Head; 240x240; Slice index 52; Axial view
FLAIR magnetic resonance.
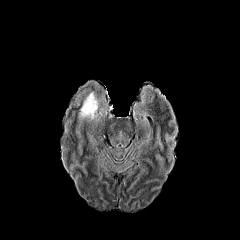
T1-weighted magnetic resonance.
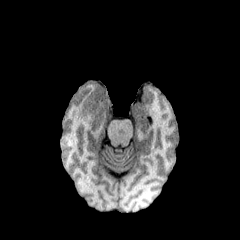
Post-contrast T1-weighted MR image.
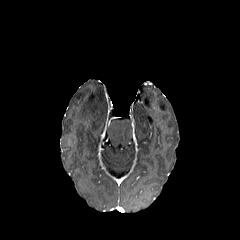
T2-weighted MRI.
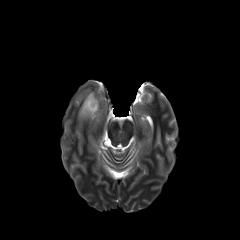
peritumoral edema at box=[79, 91, 98, 119]